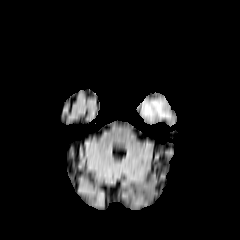
FLAIR MR.
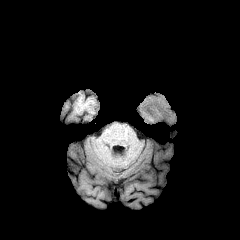
Same slice, T1-weighted MR image.
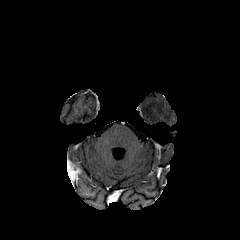
Post-contrast T1-weighted MR image of the same slice.
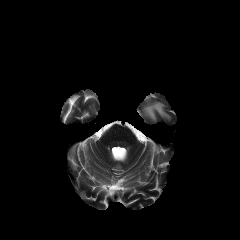
T2-weighted MRI of the same slice.
Image size 240x240.
peritumoral edema: bbox(142, 101, 170, 119)